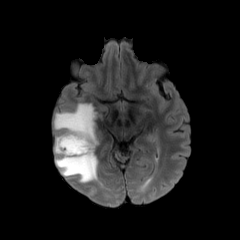
FLAIR MR image.
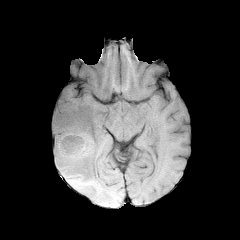
T1-weighted MRI.
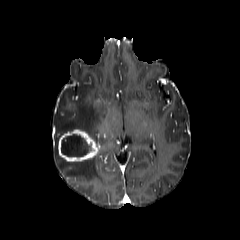
Post-contrast T1-weighted MRI.
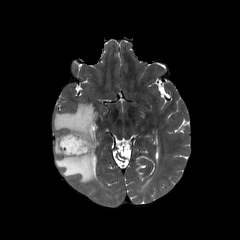
Same slice, T2-weighted magnetic resonance.
Head
The peritumoral edema is bounded by [x1=53, y1=102, x2=99, y2=183]. The enhancing tumor lies within [x1=58, y1=129, x2=99, y2=162]. The necrotic tumor core is located at [x1=61, y1=134, x2=91, y2=156].